Image width 240 mm, 1.00 mm slice spacing
FLAIR MR image.
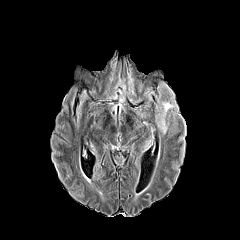
T1-weighted MR image.
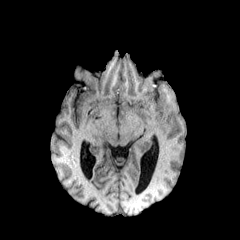
Post-contrast T1-weighted magnetic resonance.
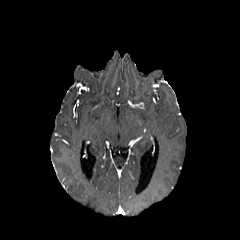
T2-weighted MRI.
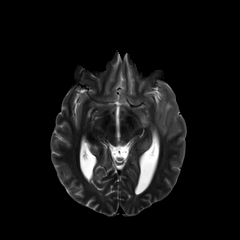
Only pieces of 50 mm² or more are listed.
peritumoral edema: [x1=157, y1=102, x2=176, y2=134]